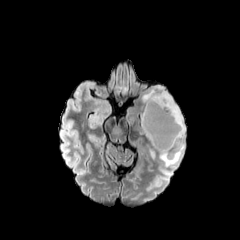
FLAIR magnetic resonance.
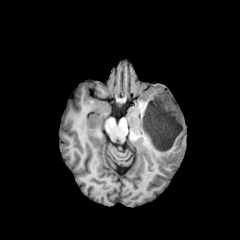
T1-weighted MR image of the same slice.
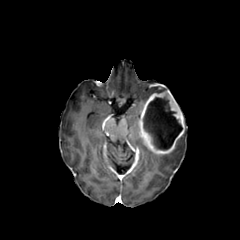
Post-contrast T1-weighted MRI.
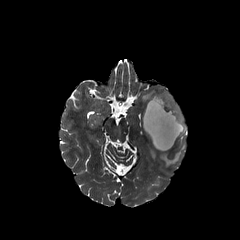
T2-weighted MR image of the same slice.
Axial slice | Head
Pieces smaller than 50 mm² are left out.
peritumoral edema: box=[142, 85, 166, 103]; box=[158, 128, 185, 166]
enhancing tumor: box=[138, 90, 185, 154]
necrotic tumor core: box=[143, 97, 182, 150]